FLAIR MR.
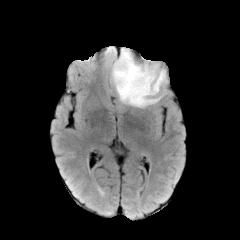
T1-weighted MRI.
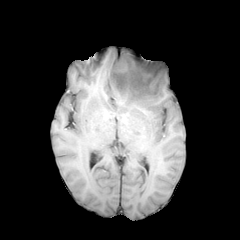
Post-contrast T1-weighted MR image.
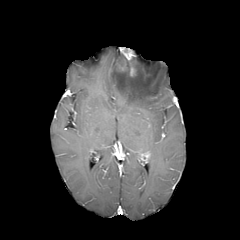
T2-weighted MR.
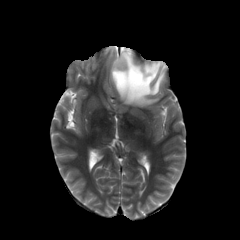
Axial slice | 240x240 px | Brain
The peritumoral edema is at l=112, t=53, r=166, b=107. 2 enhancing tumor regions appear at l=130, t=63, r=135, b=76; l=121, t=47, r=134, b=61.